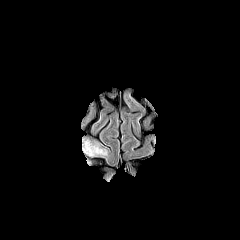
FLAIR MR.
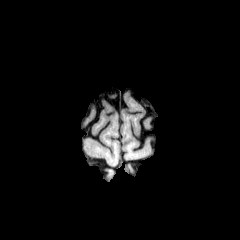
Same slice, T1-weighted MRI.
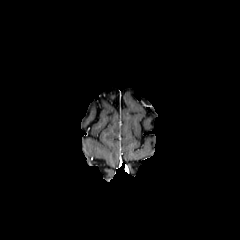
Same slice, post-contrast T1-weighted MRI.
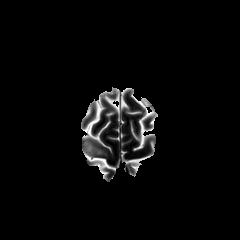
Same slice, T2-weighted MR.
Axial slice
peritumoral edema: region(84, 140, 106, 155)